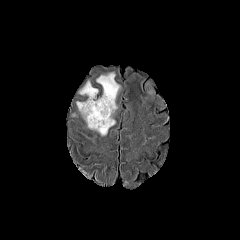
FLAIR MR image.
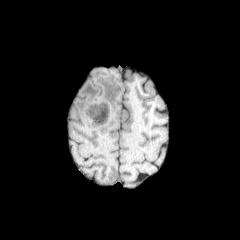
T1-weighted MR.
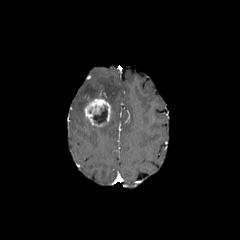
Same slice, post-contrast T1-weighted MR.
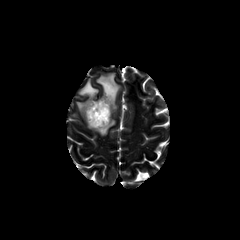
T2-weighted MR image.
peritumoral edema: bounding box box=[76, 81, 115, 135]; box=[96, 73, 120, 114]
necrotic tumor core: bounding box box=[93, 106, 107, 123]
enhancing tumor: bounding box box=[84, 98, 111, 127]